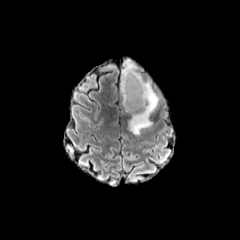
FLAIR magnetic resonance.
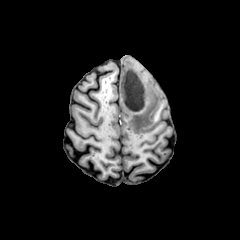
T1-weighted MR.
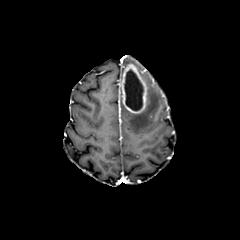
Post-contrast T1-weighted MR.
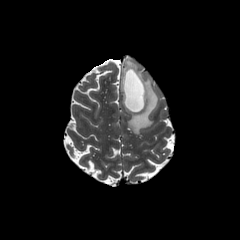
Same slice, T2-weighted MR.
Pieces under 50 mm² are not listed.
- necrotic tumor core: x1=124 y1=69 x2=143 y2=110
- enhancing tumor: x1=121 y1=64 x2=147 y2=113
- peritumoral edema: x1=128 y1=78 x2=159 y2=134